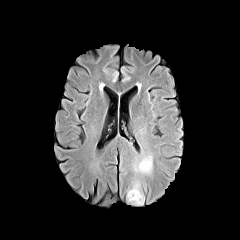
FLAIR magnetic resonance.
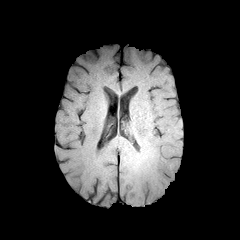
T1-weighted MR image.
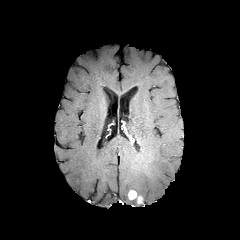
Post-contrast T1-weighted MR.
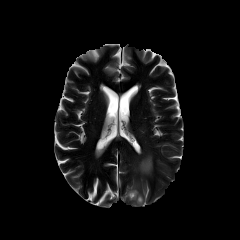
Same slice, T2-weighted MR image.
Brain
enhancing tumor: l=128, t=190, r=142, b=203 | peritumoral edema: l=130, t=184, r=144, b=203; l=139, t=156, r=151, b=173; l=127, t=190, r=142, b=204